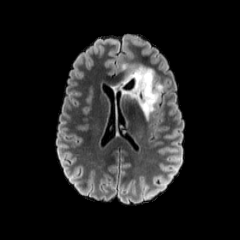
FLAIR MR image.
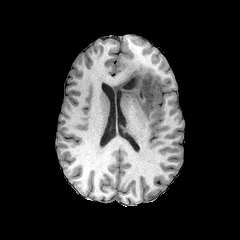
Same slice, T1-weighted MRI.
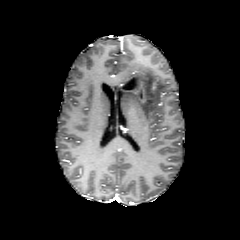
Same slice, post-contrast T1-weighted magnetic resonance.
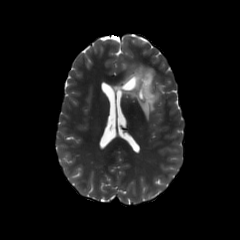
T2-weighted MR image.
Image size 240x240 | Head
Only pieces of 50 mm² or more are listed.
enhancing tumor: bounding box left=139, top=82, right=145, bottom=101
peritumoral edema: bounding box left=120, top=64, right=163, bottom=119
necrotic tumor core: bounding box left=123, top=78, right=135, bottom=89